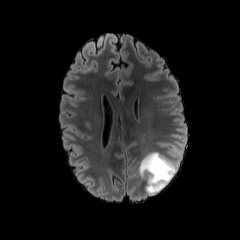
FLAIR MR.
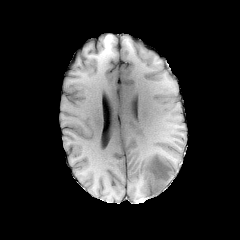
T1-weighted MRI of the same slice.
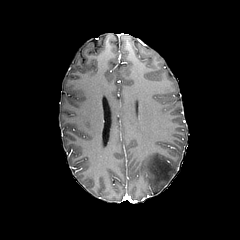
Same slice, post-contrast T1-weighted MRI.
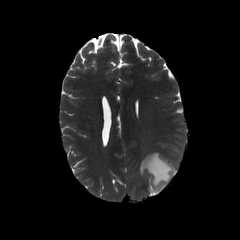
Same slice, T2-weighted MR image.
peritumoral edema: (138,152,178,194)